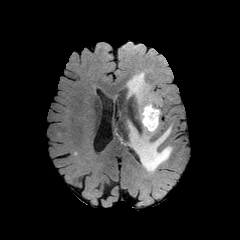
FLAIR MRI.
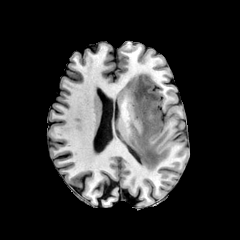
T1-weighted MR.
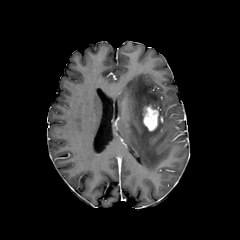
Post-contrast T1-weighted MR image.
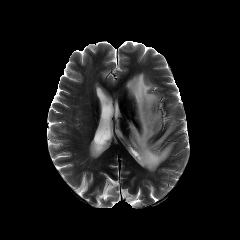
T2-weighted MRI.
Axial plane.
<segmentation>
  <enhancing_tumor>box(143, 105, 158, 130)</enhancing_tumor>
  <peritumoral_edema>box(126, 72, 173, 172)</peritumoral_edema>
</segmentation>